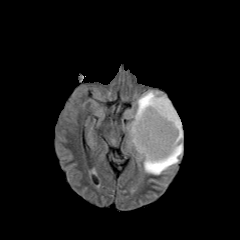
FLAIR magnetic resonance.
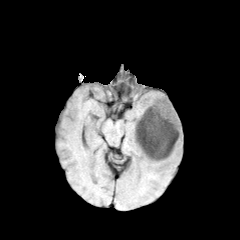
Same slice, T1-weighted MR.
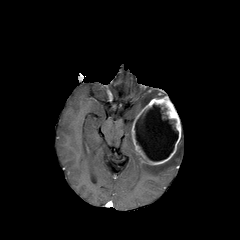
Same slice, post-contrast T1-weighted MR image.
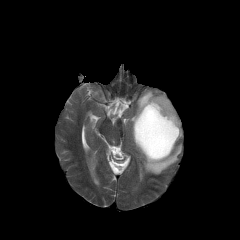
T2-weighted MRI of the same slice.
Head, 240x240 px
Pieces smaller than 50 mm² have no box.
{
  "necrotic_tumor_core": [
    "[135, 104, 178, 161]"
  ],
  "peritumoral_edema": [
    "[124, 90, 165, 148]",
    "[143, 130, 183, 174]"
  ],
  "enhancing_tumor": [
    "[131, 96, 181, 165]"
  ]
}